FLAIR MR image.
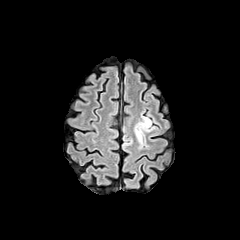
T1-weighted magnetic resonance.
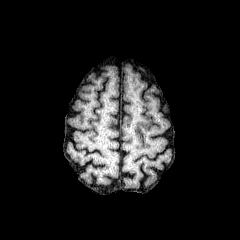
Post-contrast T1-weighted MR.
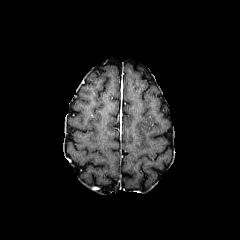
T2-weighted MRI.
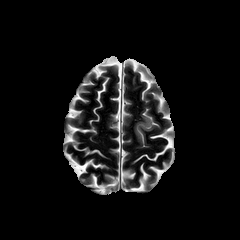
Axial view.
peritumoral edema: bounding box left=134, top=116, right=155, bottom=148